FLAIR MR image.
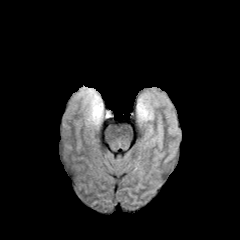
T1-weighted magnetic resonance.
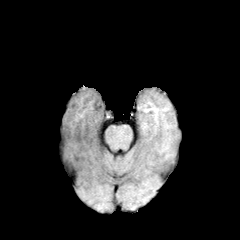
Post-contrast T1-weighted MR image.
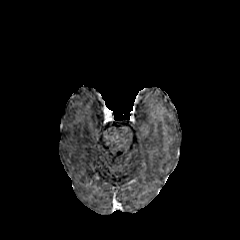
T2-weighted MRI.
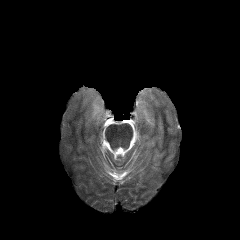
240x240, Axial slice
peritumoral edema = [x1=137, y1=98, x2=153, y2=121], [x1=78, y1=87, x2=108, y2=125]